Image width 240 mm, 1.00 mm slice spacing
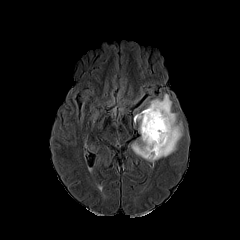
FLAIR MR.
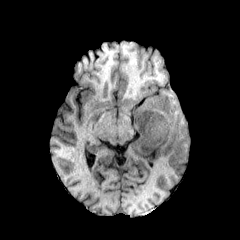
T1-weighted MRI.
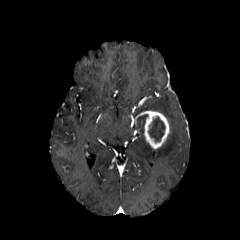
Post-contrast T1-weighted MR.
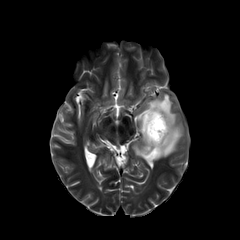
T2-weighted MR image.
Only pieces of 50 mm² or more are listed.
peritumoral edema = box(130, 88, 185, 160)
necrotic tumor core = box(148, 117, 165, 141)
enhancing tumor = box(135, 110, 170, 149)